Axial plane; Image width 240 mm; Image size 240x240
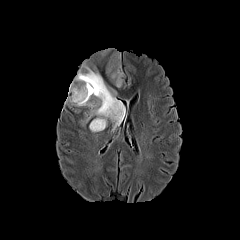
FLAIR MR.
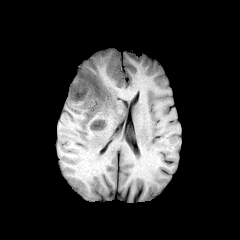
T1-weighted MRI of the same slice.
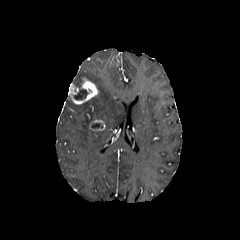
Same slice, post-contrast T1-weighted MR.
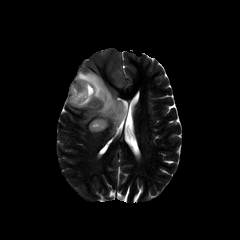
Same slice, T2-weighted MR image.
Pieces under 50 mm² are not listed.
Segmented structures:
- necrotic tumor core: bbox(74, 88, 92, 99)
- enhancing tumor: bbox(89, 119, 105, 131); bbox(68, 81, 97, 104)
- peritumoral edema: bbox(66, 49, 126, 129)